FLAIR MR.
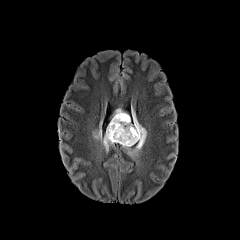
T1-weighted MRI.
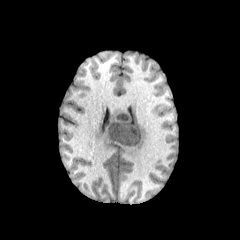
Post-contrast T1-weighted MR.
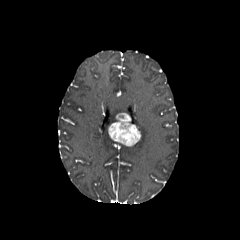
T2-weighted MRI.
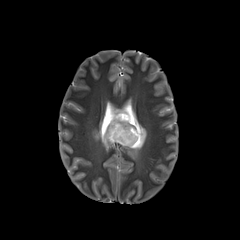
Brain.
<segmentation>
  <enhancing_tumor>x1=108 y1=112 x2=141 y2=146</enhancing_tumor>
  <peritumoral_edema>x1=109 y1=108 x2=123 y2=125, x1=122 y1=112 x2=146 y2=158, x1=93 y1=127 x2=116 y2=151</peritumoral_edema>
</segmentation>